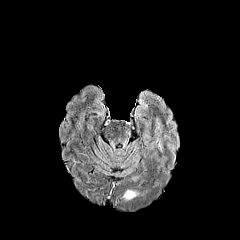
FLAIR MRI.
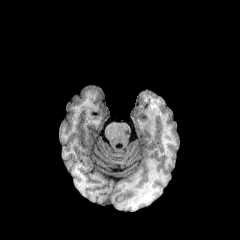
Same slice, T1-weighted MRI.
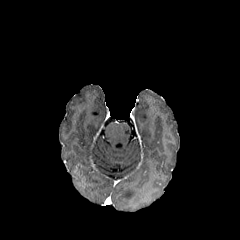
Post-contrast T1-weighted MRI.
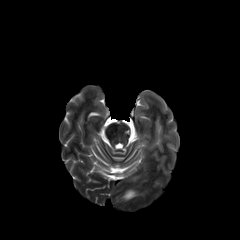
T2-weighted magnetic resonance.
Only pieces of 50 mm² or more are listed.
The largest peritumoral edema region lies within [123, 190, 138, 199].